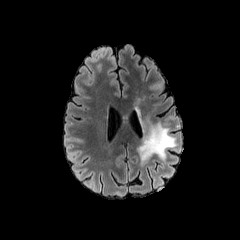
FLAIR magnetic resonance.
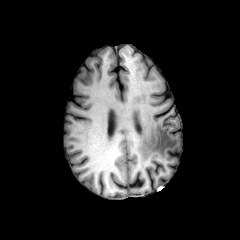
T1-weighted MRI.
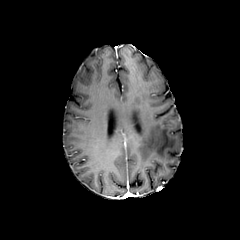
Same slice, post-contrast T1-weighted MR image.
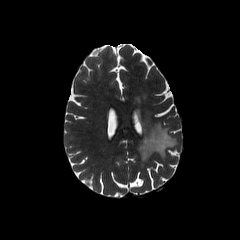
T2-weighted MRI.
The peritumoral edema is bounded by region(138, 122, 176, 162).